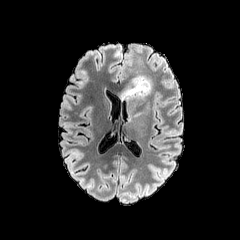
FLAIR magnetic resonance.
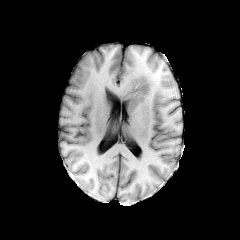
T1-weighted MR.
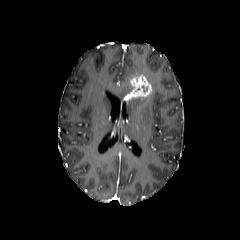
Post-contrast T1-weighted MR.
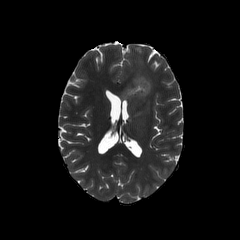
T2-weighted MR image.
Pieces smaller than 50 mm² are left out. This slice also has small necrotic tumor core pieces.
{
  "enhancing_tumor": [
    "(123,75,151,100)"
  ],
  "peritumoral_edema": [
    "(126,57,142,77)",
    "(121,81,131,99)"
  ]
}